FLAIR magnetic resonance.
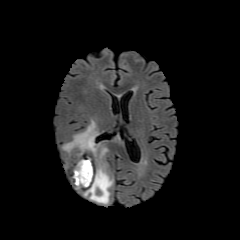
T1-weighted MR image.
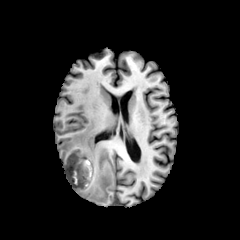
Post-contrast T1-weighted MR.
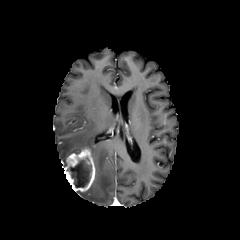
T2-weighted magnetic resonance.
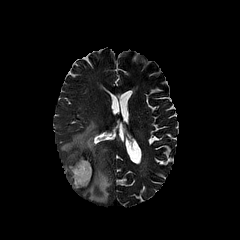
Image size 240x240. Axial plane.
The necrotic tumor core lies within (x1=67, y1=158, x2=91, y2=187). The enhancing tumor appears at (x1=63, y1=145, x2=95, y2=191). The peritumoral edema is located at (x1=61, y1=120, x2=113, y2=203).